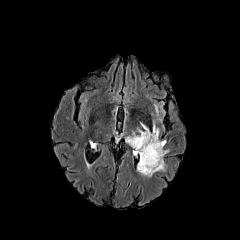
FLAIR MRI.
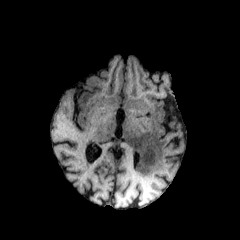
T1-weighted MR image.
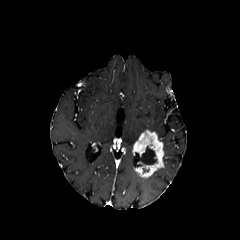
Post-contrast T1-weighted magnetic resonance of the same slice.
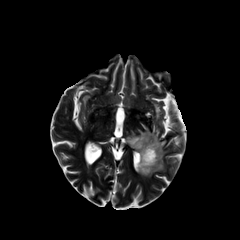
T2-weighted MR image of the same slice.
Head
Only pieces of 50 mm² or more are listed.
{"peritumoral_edema": ["[125, 131, 139, 147]", "[152, 121, 159, 136]"], "necrotic_tumor_core": ["[139, 146, 156, 164]"], "enhancing_tumor": ["[132, 130, 164, 177]"]}